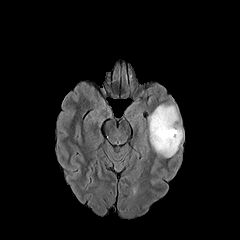
FLAIR MRI.
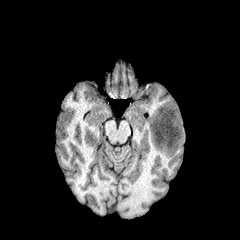
T1-weighted MRI of the same slice.
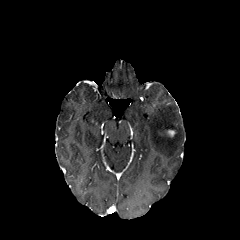
Post-contrast T1-weighted MR of the same slice.
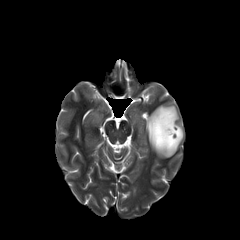
Same slice, T2-weighted MR image.
Brain
Findings:
- peritumoral edema: box=[148, 104, 183, 157]
- enhancing tumor: box=[167, 129, 175, 137]